Slice 49/155; Image width 240 mm; Brain
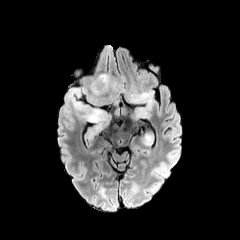
FLAIR MRI.
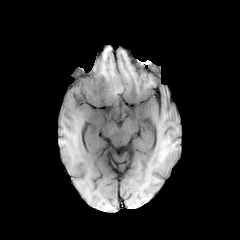
Same slice, T1-weighted magnetic resonance.
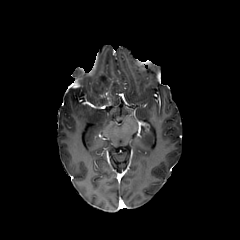
Post-contrast T1-weighted MRI.
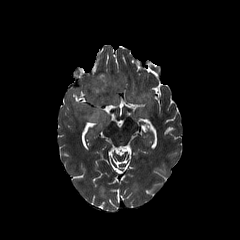
Same slice, T2-weighted MR image.
* peritumoral edema: (67, 74, 153, 125)